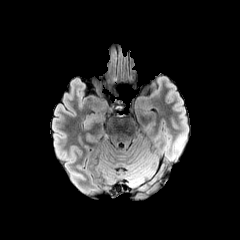
FLAIR MR.
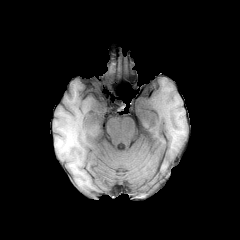
Same slice, T1-weighted MRI.
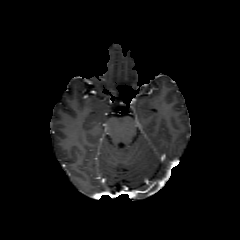
Post-contrast T1-weighted MR image.
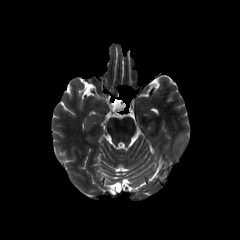
T2-weighted MR image.
Head
{"peritumoral_edema": ["region(173, 131, 187, 157)"]}